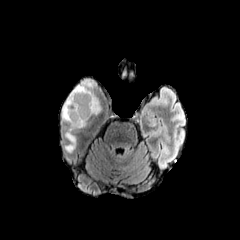
FLAIR MR image.
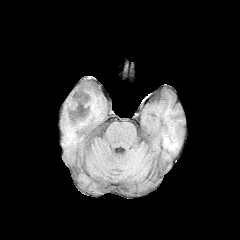
T1-weighted MR of the same slice.
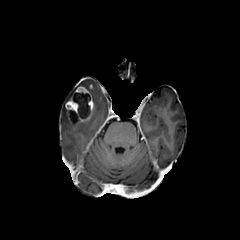
Post-contrast T1-weighted MR.
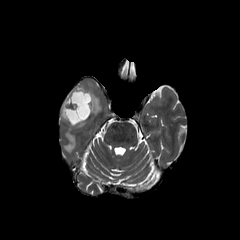
T2-weighted MRI.
240x240 | Axial slice | Brain
necrotic_tumor_core:
  - rect(69, 93, 90, 123)
enhancing_tumor:
  - rect(65, 86, 93, 125)
peritumoral_edema:
  - rect(61, 80, 101, 130)
  - rect(64, 132, 75, 152)